FLAIR MRI.
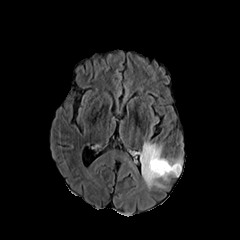
T1-weighted MR.
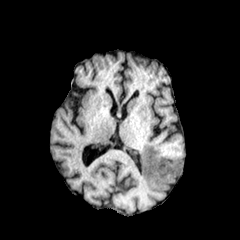
Post-contrast T1-weighted MRI.
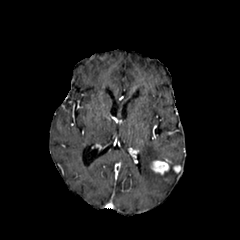
T2-weighted MR image.
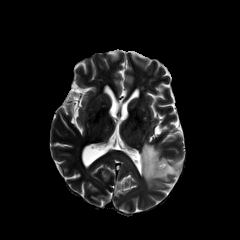
{"peritumoral_edema": ["bbox=[139, 142, 182, 188]"], "enhancing_tumor": ["bbox=[173, 165, 181, 173]", "bbox=[150, 160, 169, 174]"]}